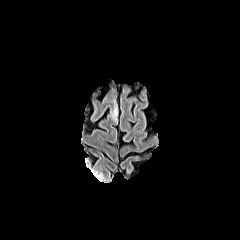
FLAIR MRI.
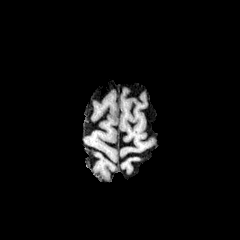
T1-weighted magnetic resonance.
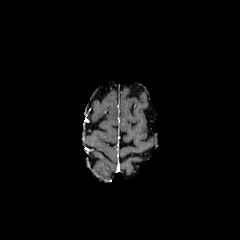
Same slice, post-contrast T1-weighted MR.
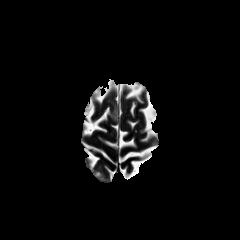
Same slice, T2-weighted MR image.
Brain
The peritumoral edema is bounded by rect(110, 96, 118, 123).